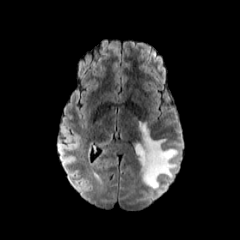
FLAIR MR.
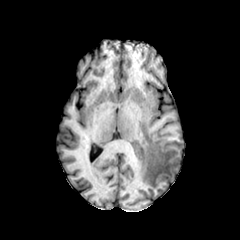
T1-weighted MR of the same slice.
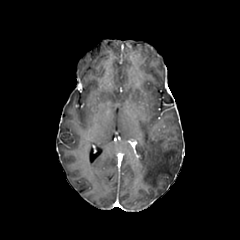
Post-contrast T1-weighted MRI of the same slice.
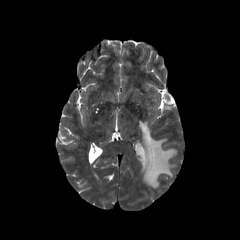
T2-weighted magnetic resonance of the same slice.
Axial plane, Head, 240x240 px
The peritumoral edema is located at (x1=134, y1=122, x2=177, y2=188).